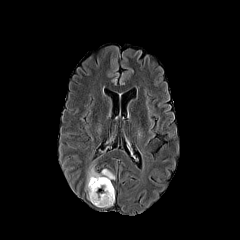
FLAIR MRI.
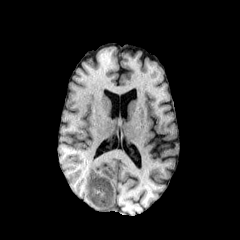
Same slice, T1-weighted magnetic resonance.
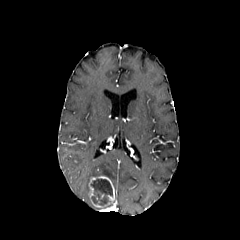
Post-contrast T1-weighted MRI.
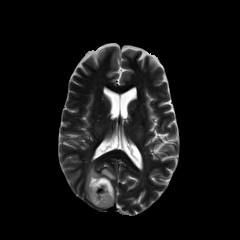
T2-weighted MR of the same slice.
Axial view, 240x240, Head
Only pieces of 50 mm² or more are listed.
peritumoral edema = x1=85, y1=165, x2=115, y2=200
enhancing tumor = x1=88, y1=176, x2=114, y2=208
necrotic tumor core = x1=91, y1=179, x2=112, y2=205